Axial plane; Head; Slice 63 of 155
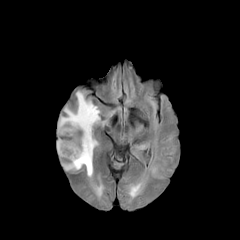
FLAIR MR image.
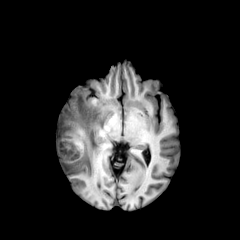
T1-weighted MR image.
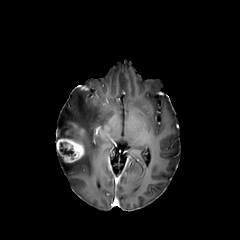
Same slice, post-contrast T1-weighted MRI.
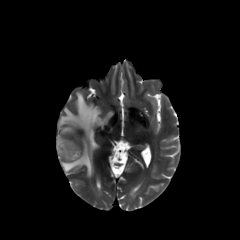
T2-weighted MR image.
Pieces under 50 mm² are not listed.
The largest enhancing tumor region is at <bbox>56, 138, 84, 162</bbox>. 2 necrotic tumor core regions are located at <bbox>60, 143, 73, 155</bbox>, <bbox>63, 126, 81, 141</bbox>. The largest peritumoral edema region is located at <bbox>58, 91, 107, 177</bbox>.